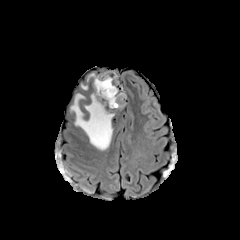
FLAIR MR image.
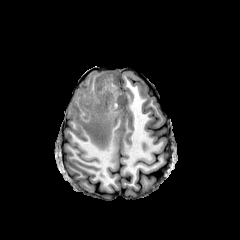
T1-weighted MRI.
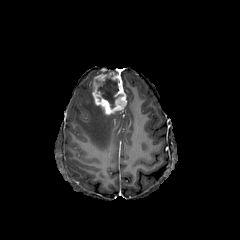
Post-contrast T1-weighted MR image of the same slice.
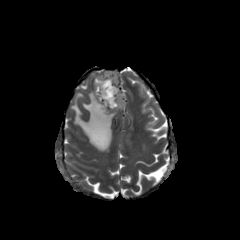
T2-weighted MR.
Head | 240x240
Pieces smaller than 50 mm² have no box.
necrotic_tumor_core:
  - x1=97, y1=78, x2=120, y2=108
enhancing_tumor:
  - x1=92, y1=72, x2=126, y2=114
peritumoral_edema:
  - x1=70, y1=93, x2=115, y2=151